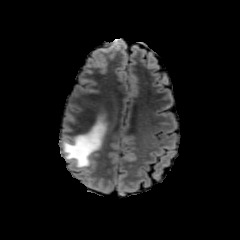
FLAIR MRI.
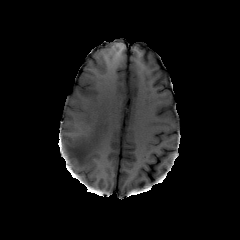
T1-weighted MRI.
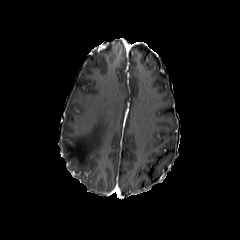
Post-contrast T1-weighted MRI.
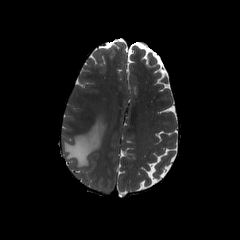
T2-weighted MR of the same slice.
Head
The peritumoral edema lies within box=[63, 116, 106, 167].